Slice 95 of 155 | Axial plane | Image width 240 mm | Head
FLAIR MR.
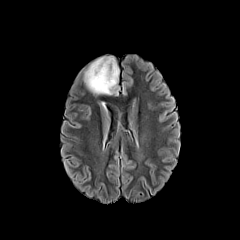
T1-weighted MRI.
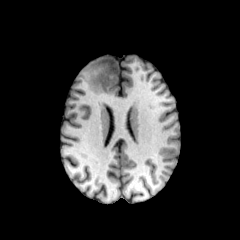
Post-contrast T1-weighted MRI.
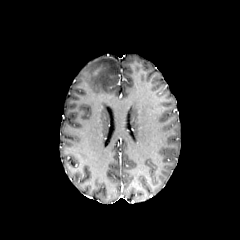
T2-weighted MR image.
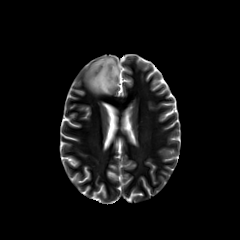
peritumoral edema = (84, 56, 119, 94)